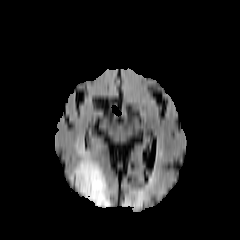
FLAIR magnetic resonance.
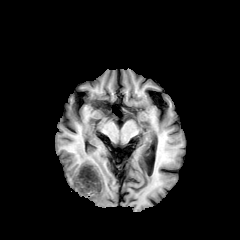
T1-weighted MRI.
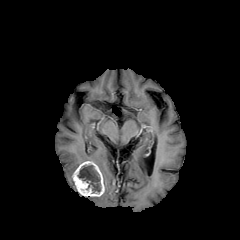
Post-contrast T1-weighted MRI.
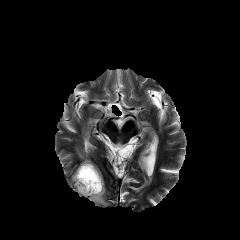
T2-weighted MR.
Axial view
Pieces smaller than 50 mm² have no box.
peritumoral edema: 70:142:98:182, 85:175:110:206 | enhancing tumor: 72:161:104:196 | necrotic tumor core: 78:165:100:192